Brain; Image width 240 mm; Axial slice; Image size 240x240
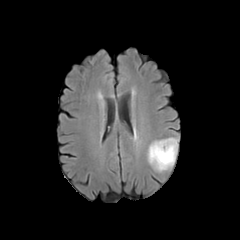
FLAIR MR.
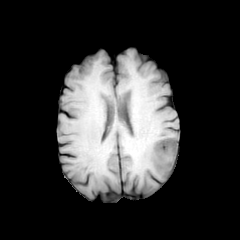
T1-weighted magnetic resonance of the same slice.
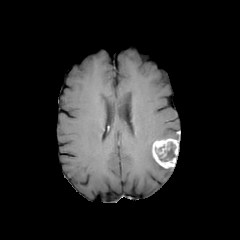
Post-contrast T1-weighted MRI of the same slice.
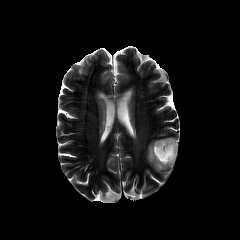
Same slice, T2-weighted magnetic resonance.
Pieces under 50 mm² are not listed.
The largest peritumoral edema region is at (left=147, top=140, right=171, bottom=172). The enhancing tumor is bounded by (left=152, top=138, right=178, bottom=168). The necrotic tumor core is located at (left=158, top=143, right=175, bottom=161).